Axial plane; 240x240
FLAIR magnetic resonance.
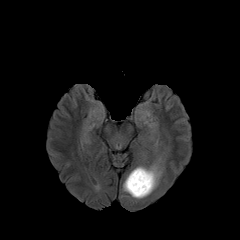
T1-weighted magnetic resonance.
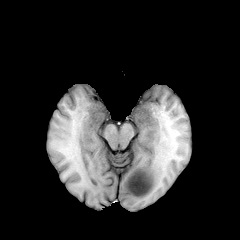
Post-contrast T1-weighted magnetic resonance.
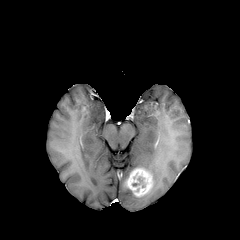
T2-weighted MRI.
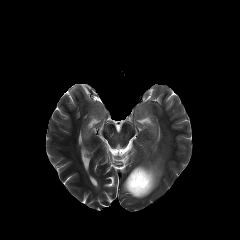
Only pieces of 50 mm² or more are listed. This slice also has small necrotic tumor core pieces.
The peritumoral edema is at x1=123, y1=158, x2=162, y2=198. The enhancing tumor is bounded by x1=125, y1=168, x2=153, y2=196.